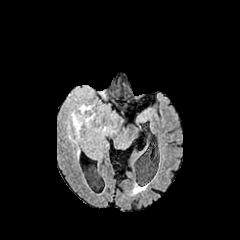
FLAIR magnetic resonance.
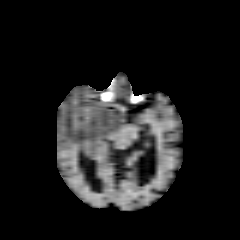
T1-weighted MR.
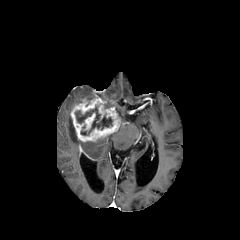
Post-contrast T1-weighted MR.
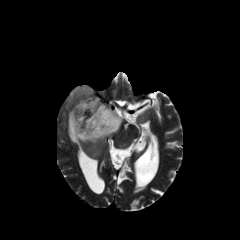
Same slice, T2-weighted MRI.
Head
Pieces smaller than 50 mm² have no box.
peritumoral_edema:
  - (left=67, top=115, right=80, bottom=144)
  - (left=67, top=87, right=92, bottom=103)
enhancing_tumor:
  - (left=69, top=96, right=121, bottom=142)
necrotic_tumor_core:
  - (left=75, top=106, right=112, bottom=135)